240x240 px; Image width 240 mm, 1.00 mm slice spacing; Head
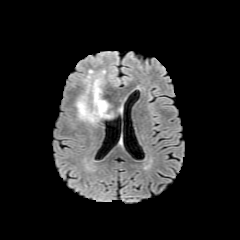
FLAIR MRI.
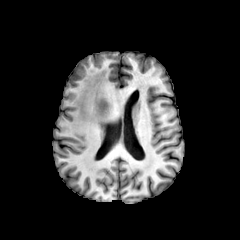
T1-weighted MRI.
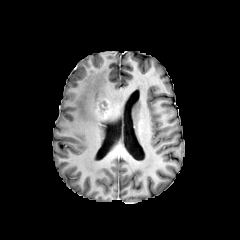
Post-contrast T1-weighted MRI.
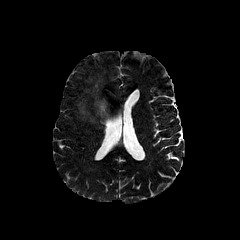
T2-weighted MR of the same slice.
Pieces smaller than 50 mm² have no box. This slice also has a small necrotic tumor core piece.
* peritumoral edema: [x1=76, y1=70, x2=105, y2=124]
* enhancing tumor: [x1=95, y1=99, x2=111, y2=119]